FLAIR MR image.
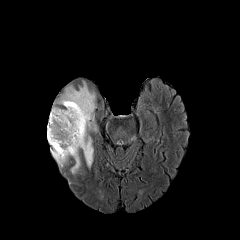
T1-weighted MR.
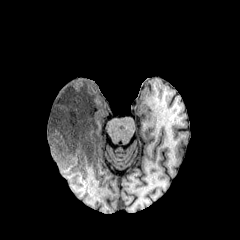
Post-contrast T1-weighted MR image.
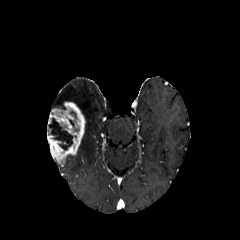
T2-weighted magnetic resonance.
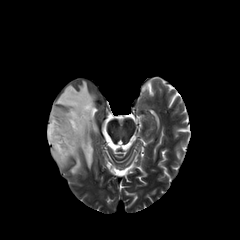
Axial slice; Image size 240x240
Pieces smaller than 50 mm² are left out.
peritumoral edema: 53:81:96:174
necrotic tumor core: 48:118:72:149
enhancing tumor: 47:101:85:166